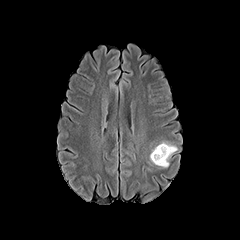
FLAIR magnetic resonance.
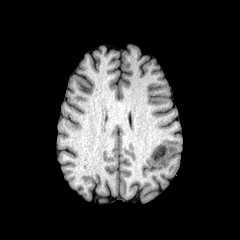
Same slice, T1-weighted MR.
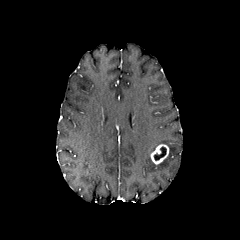
Post-contrast T1-weighted MR.
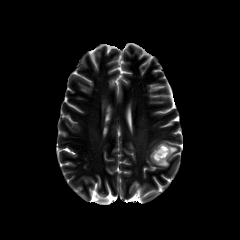
T2-weighted MRI.
Axial slice
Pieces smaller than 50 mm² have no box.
Annotated regions:
* enhancing tumor: box(150, 144, 169, 164)
* necrotic tumor core: box(154, 146, 166, 160)
* peritumoral edema: box(158, 141, 177, 167)